FLAIR MR image.
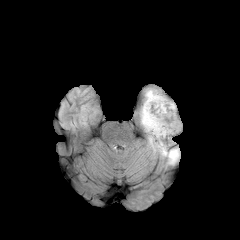
T1-weighted MRI.
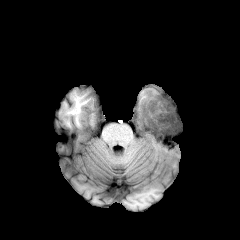
Post-contrast T1-weighted MR.
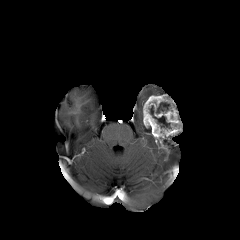
T2-weighted MR.
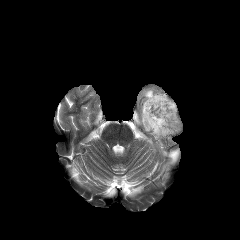
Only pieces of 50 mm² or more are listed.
necrotic tumor core: bounding box 156:102:169:112, 150:106:169:127
peritumoral edema: bounding box 145:89:162:101, 149:135:155:151, 157:143:179:164
enhancing tumor: bounding box 143:94:182:149